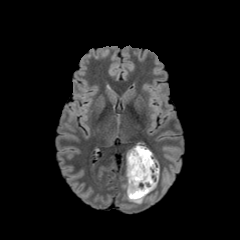
FLAIR MR.
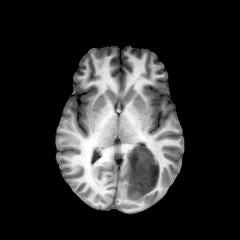
T1-weighted magnetic resonance.
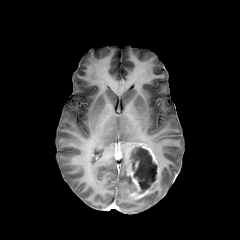
Same slice, post-contrast T1-weighted MR.
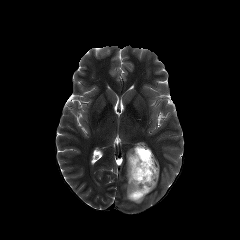
Same slice, T2-weighted MR image.
Head; Axial plane
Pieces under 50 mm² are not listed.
The largest necrotic tumor core region appears at (x1=130, y1=146, x2=157, y2=193). The largest peritumoral edema region appears at (x1=125, y1=176, x2=145, y2=203). The largest enhancing tumor region is bounded by (x1=127, y1=143, x2=159, y2=199).